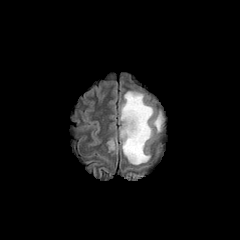
FLAIR MRI.
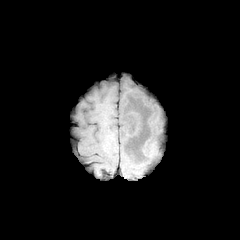
T1-weighted MR.
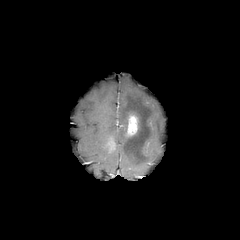
Post-contrast T1-weighted magnetic resonance of the same slice.
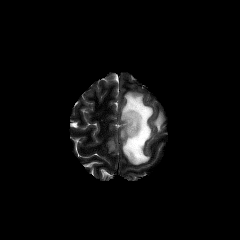
T2-weighted MR image of the same slice.
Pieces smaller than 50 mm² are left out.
The largest enhancing tumor region appears at rect(126, 114, 138, 136). The largest peritumoral edema region is located at rect(120, 91, 163, 165).